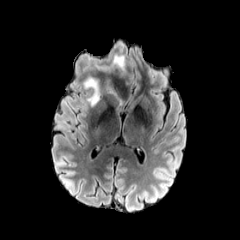
FLAIR MR image.
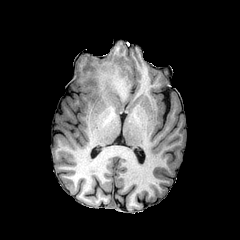
T1-weighted MR image.
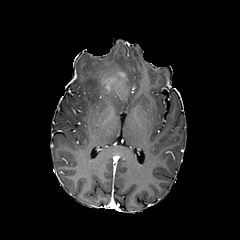
Post-contrast T1-weighted MRI.
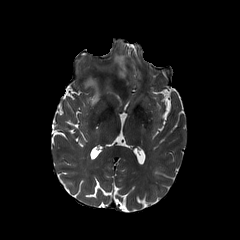
T2-weighted magnetic resonance of the same slice.
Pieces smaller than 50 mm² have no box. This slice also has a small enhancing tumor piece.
- peritumoral edema: left=83, top=76, right=125, bottom=108; left=98, top=55, right=125, bottom=74